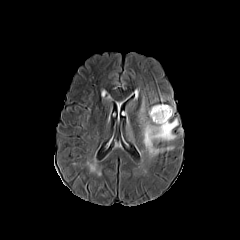
FLAIR MR image.
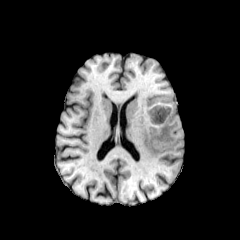
Same slice, T1-weighted MR.
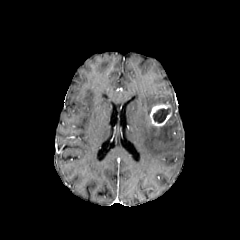
Same slice, post-contrast T1-weighted MR image.
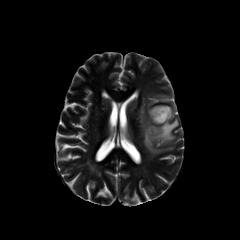
T2-weighted MRI.
Head. Image size 240x240. Axial plane.
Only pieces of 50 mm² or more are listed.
Segmented structures:
- peritumoral edema: box=[139, 98, 178, 156]
- enhancing tumor: box=[149, 104, 171, 126]
- necrotic tumor core: box=[153, 108, 170, 122]